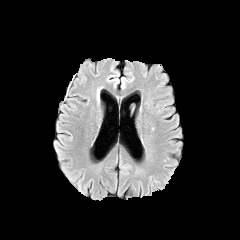
FLAIR magnetic resonance.
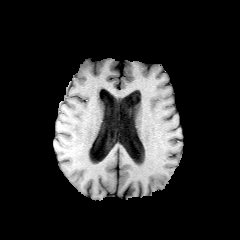
Same slice, T1-weighted magnetic resonance.
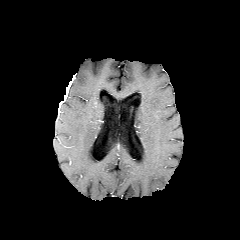
Post-contrast T1-weighted magnetic resonance.
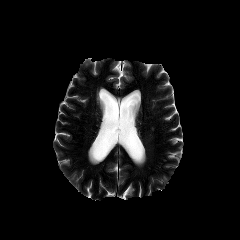
T2-weighted magnetic resonance of the same slice.
Image size 240x240. Brain.
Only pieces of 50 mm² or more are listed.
enhancing_tumor:
  - x1=60 y1=81 x2=71 y2=104